Slice 36/155, Brain, Axial slice
FLAIR MRI.
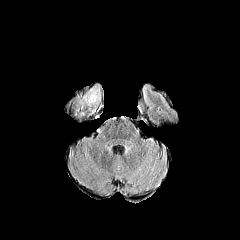
T1-weighted MRI.
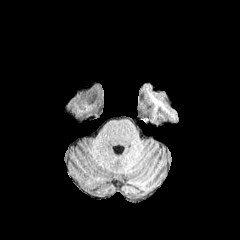
Post-contrast T1-weighted MR image.
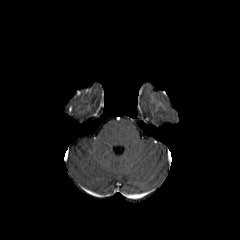
T2-weighted magnetic resonance.
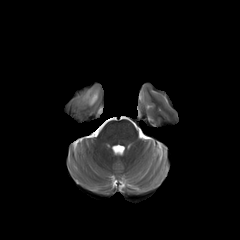
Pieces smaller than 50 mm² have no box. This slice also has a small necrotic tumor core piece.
The largest peritumoral edema region is at l=79, t=85, r=100, b=107.